Image width 240 mm, Slice 112 of 155, Brain
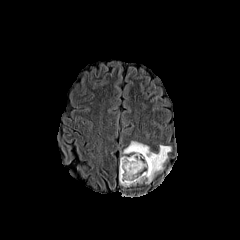
FLAIR MR image.
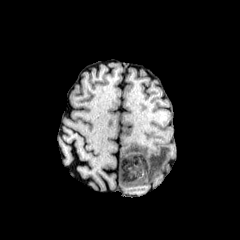
T1-weighted magnetic resonance.
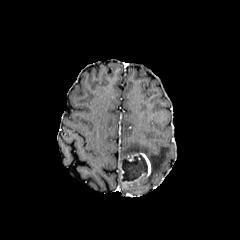
Post-contrast T1-weighted MR.
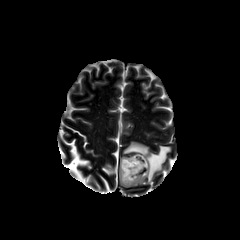
T2-weighted MR image of the same slice.
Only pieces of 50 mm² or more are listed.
{"necrotic_tumor_core": ["l=121, t=155, r=147, b=181"], "enhancing_tumor": ["l=119, t=153, r=151, b=187"], "peritumoral_edema": ["l=120, t=141, r=171, b=183"]}